Slice index 53; Axial plane
FLAIR MRI.
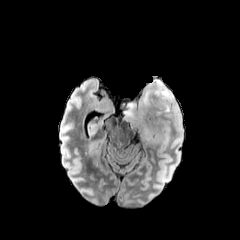
T1-weighted MRI.
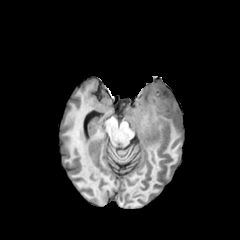
Post-contrast T1-weighted magnetic resonance.
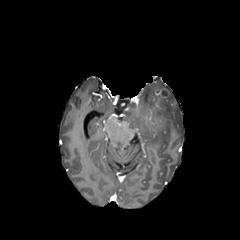
T2-weighted magnetic resonance.
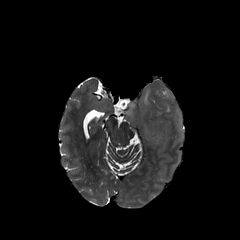
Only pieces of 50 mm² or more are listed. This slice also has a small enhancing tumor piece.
peritumoral edema = {"x1": 123, "y1": 79, "x2": 183, "y2": 144}